Brain
FLAIR MR image.
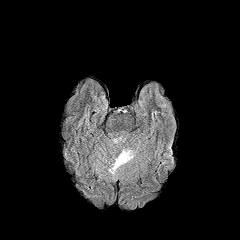
T1-weighted MR.
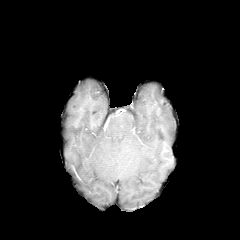
Post-contrast T1-weighted MR.
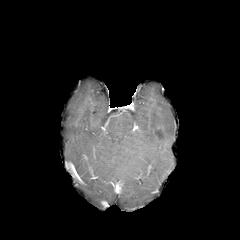
T2-weighted MRI.
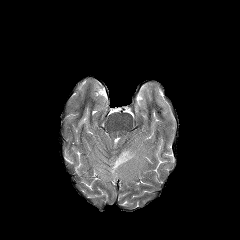
Segmented structures:
- peritumoral edema: bbox=[108, 148, 135, 177]